FLAIR MR.
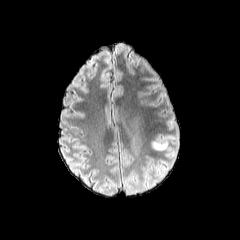
T1-weighted magnetic resonance.
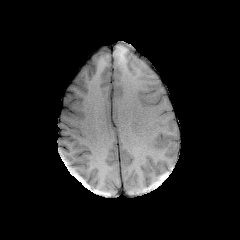
Post-contrast T1-weighted MR.
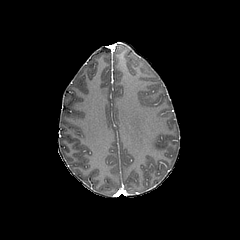
T2-weighted magnetic resonance.
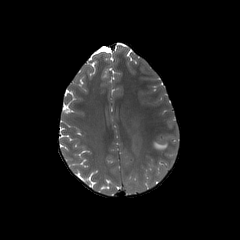
Axial view. Head.
peritumoral edema: <bbox>151, 140, 168, 150</bbox>